FLAIR MRI.
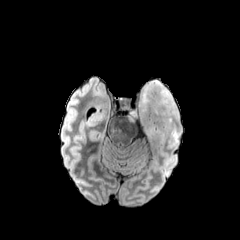
T1-weighted MR.
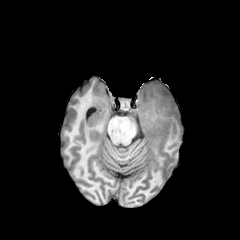
Post-contrast T1-weighted MR.
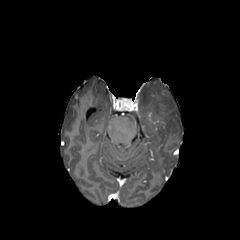
T2-weighted magnetic resonance.
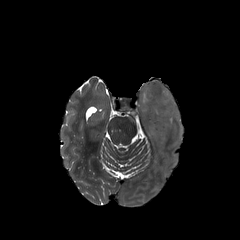
Axial view
Segmented structures:
* peritumoral edema: 128:80:181:141